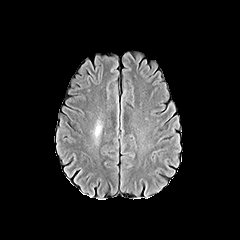
FLAIR MRI.
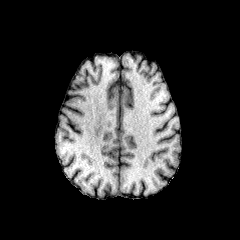
T1-weighted MRI of the same slice.
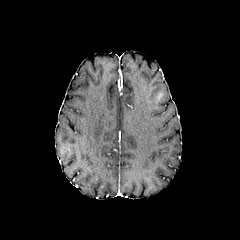
Post-contrast T1-weighted MR image.
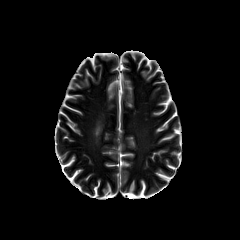
T2-weighted magnetic resonance.
Head
The peritumoral edema lies within 94, 120, 101, 143.